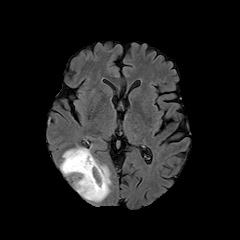
FLAIR magnetic resonance.
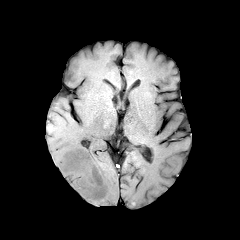
T1-weighted MRI.
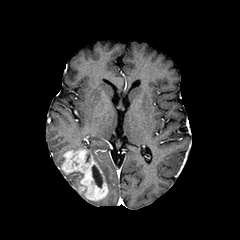
Same slice, post-contrast T1-weighted magnetic resonance.
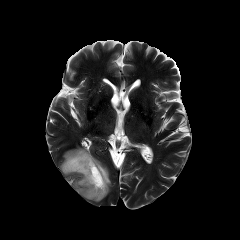
Same slice, T2-weighted MRI.
Brain
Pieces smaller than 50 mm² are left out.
peritumoral edema — (94,158,111,195), (62,171,83,191), (70,147,91,155)
necrotic tumor core — (92,165,102,188)
enhancing tumor — (61,149,108,200)